Head. Image covers 240 mm x 240 mm. Slice index 113. Axial plane.
FLAIR MR.
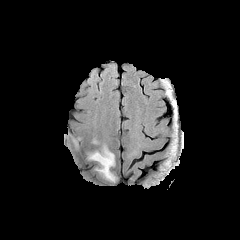
T1-weighted MR.
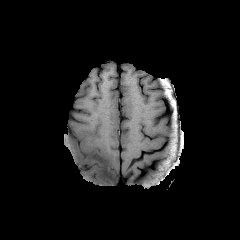
Post-contrast T1-weighted MR.
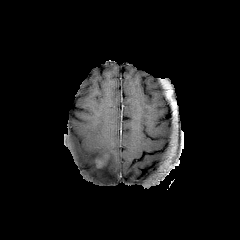
T2-weighted MR image.
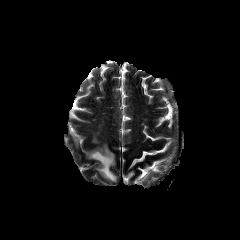
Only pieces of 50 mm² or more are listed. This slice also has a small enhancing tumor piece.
Segmented structures:
- peritumoral edema: 87,145,116,182; 73,136,81,146